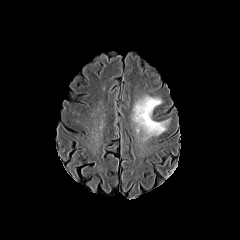
FLAIR MRI.
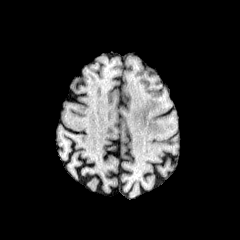
T1-weighted MR image of the same slice.
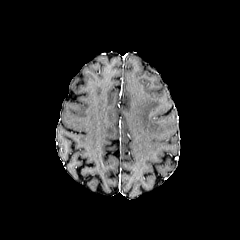
Post-contrast T1-weighted MRI of the same slice.
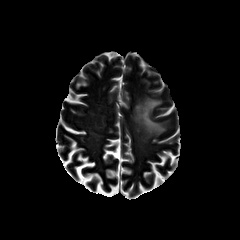
Same slice, T2-weighted MR image.
Head
peritumoral_edema:
  - (132, 96, 167, 139)